Slice 50 of 155 | Brain
FLAIR MR.
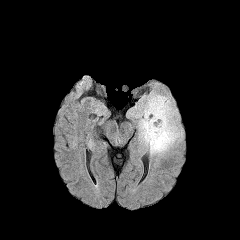
T1-weighted MR.
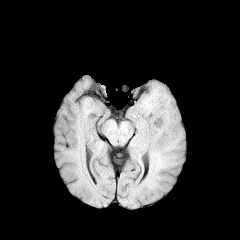
Post-contrast T1-weighted MRI.
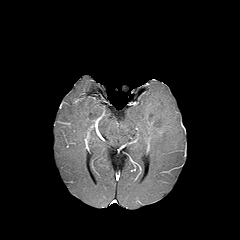
T2-weighted MRI.
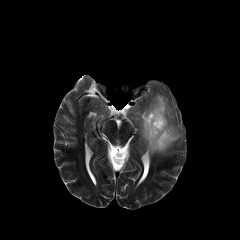
The peritumoral edema is located at <bbox>131, 92, 182, 155</bbox>.